Axial slice.
FLAIR MRI.
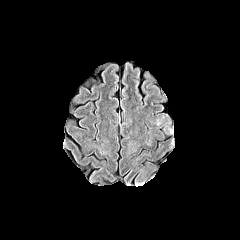
T1-weighted MR image.
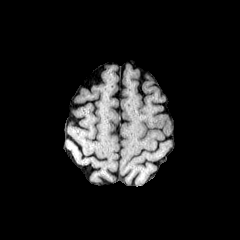
Post-contrast T1-weighted MR image.
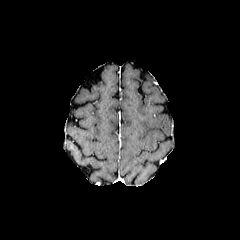
T2-weighted MR.
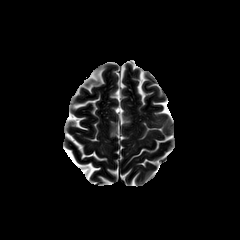
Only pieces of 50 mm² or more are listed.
peritumoral edema at (163, 124, 173, 134)